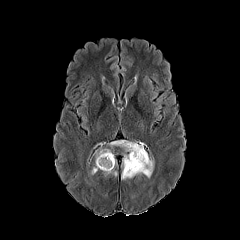
FLAIR MR image.
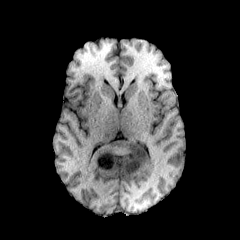
T1-weighted MRI of the same slice.
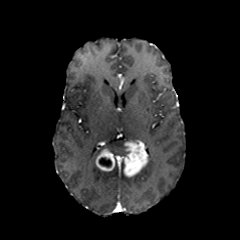
Post-contrast T1-weighted MRI.
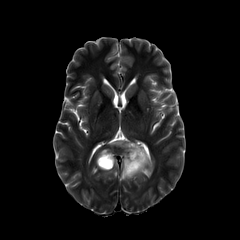
T2-weighted MR of the same slice.
Axial slice
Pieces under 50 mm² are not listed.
enhancing tumor: bounding box rect(95, 149, 115, 171); rect(122, 141, 148, 177)
necrotic tumor core: bounding box rect(99, 157, 111, 167)
peritumoral edema: bounding box rect(103, 168, 117, 176); rect(136, 158, 154, 177); rect(110, 140, 130, 151); rect(121, 162, 132, 179)